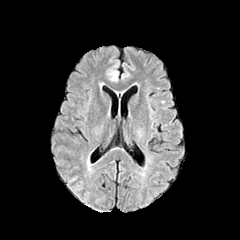
FLAIR MRI.
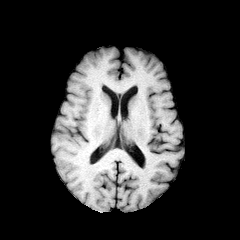
T1-weighted MR.
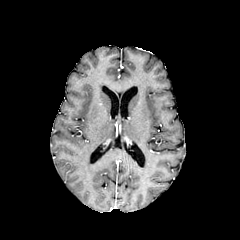
Same slice, post-contrast T1-weighted magnetic resonance.
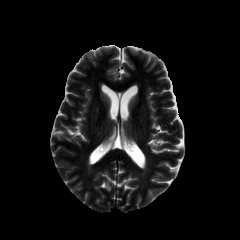
T2-weighted MRI.
Image size 240x240 | Head
Segmented structures:
• peritumoral edema: [112,71,119,80]